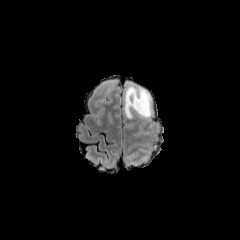
FLAIR MR image.
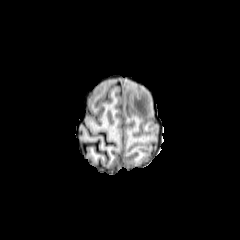
Same slice, T1-weighted MRI.
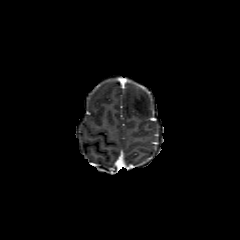
Same slice, post-contrast T1-weighted MRI.
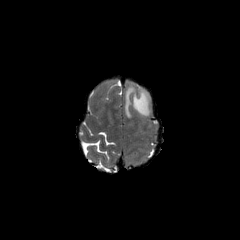
Same slice, T2-weighted MRI.
Axial slice
The peritumoral edema is at x1=124, y1=85, x2=151, y2=118.